FLAIR MR image.
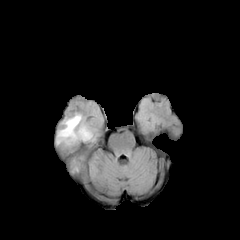
T1-weighted MR image.
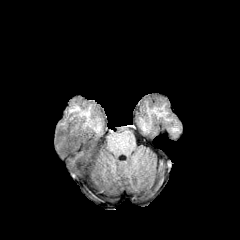
Post-contrast T1-weighted magnetic resonance.
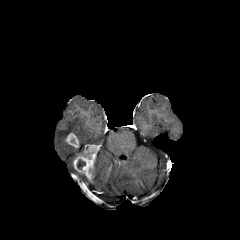
T2-weighted magnetic resonance.
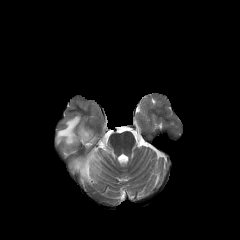
Head
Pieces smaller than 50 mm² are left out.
peritumoral edema: [56, 114, 95, 147] | enhancing tumor: [65, 133, 78, 147], [73, 144, 97, 178] | necrotic tumor core: [77, 160, 85, 168]